Axial plane. Slice 124 of 155. Brain.
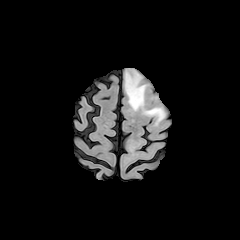
FLAIR MR image.
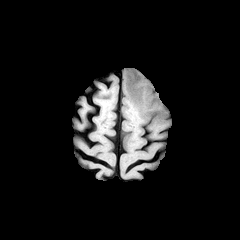
T1-weighted MR.
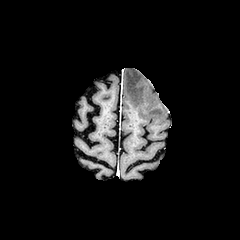
Post-contrast T1-weighted MR of the same slice.
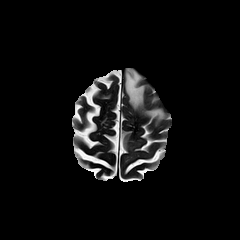
Same slice, T2-weighted MR image.
- peritumoral edema: left=125, top=69, right=165, bottom=124